Slice 69/155; Brain; 240x240 px
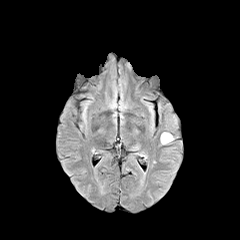
FLAIR magnetic resonance.
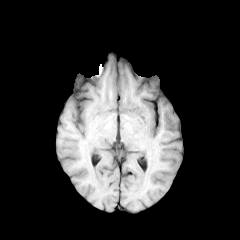
T1-weighted MRI of the same slice.
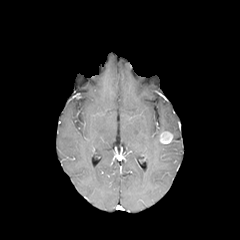
Same slice, post-contrast T1-weighted magnetic resonance.
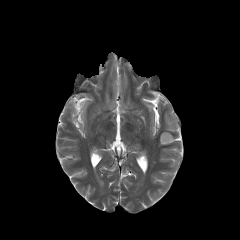
T2-weighted magnetic resonance.
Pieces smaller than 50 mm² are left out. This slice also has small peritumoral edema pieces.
enhancing tumor — (left=160, top=131, right=172, bottom=143)